Head | Axial plane | 240x240 px
FLAIR MR image.
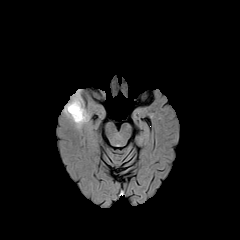
T1-weighted MR.
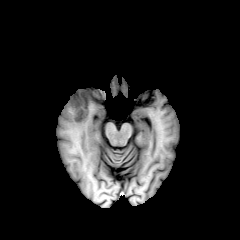
Post-contrast T1-weighted MR.
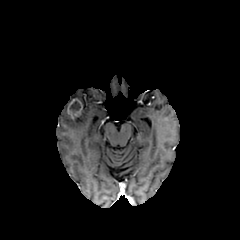
T2-weighted MR image.
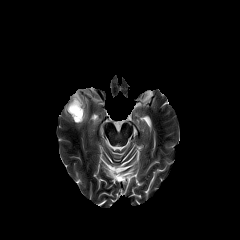
The necrotic tumor core is bounded by [69, 101, 80, 112]. The peritumoral edema is located at [63, 89, 89, 128]. The enhancing tumor appears at [67, 98, 82, 119].